Axial view | Brain
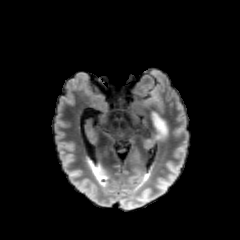
FLAIR MR image.
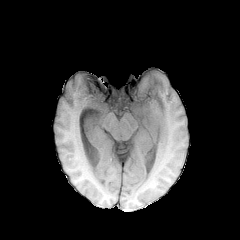
T1-weighted MRI of the same slice.
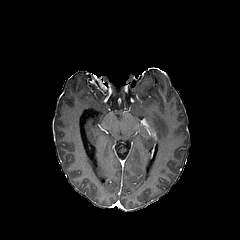
Post-contrast T1-weighted magnetic resonance.
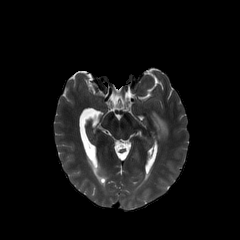
T2-weighted MR image.
The peritumoral edema is at (151,114,167,138).